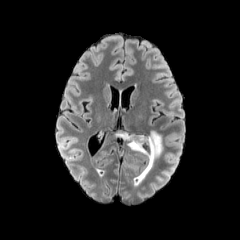
FLAIR MR.
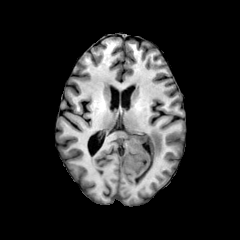
Same slice, T1-weighted MR image.
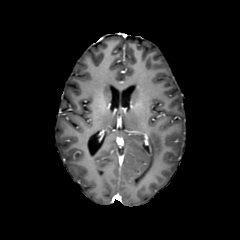
Post-contrast T1-weighted magnetic resonance of the same slice.
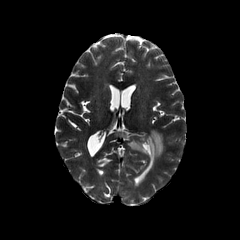
T2-weighted MR image of the same slice.
Axial plane. Brain.
The peritumoral edema is bounded by <box>127,129,163,186</box>.